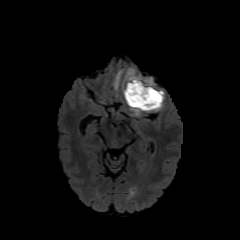
FLAIR MRI.
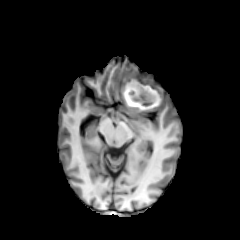
T1-weighted MRI.
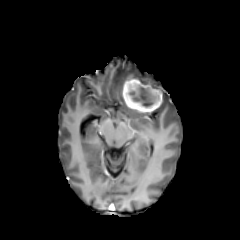
Post-contrast T1-weighted magnetic resonance of the same slice.
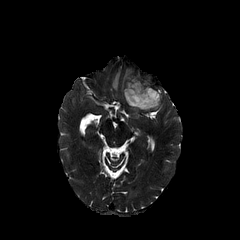
T2-weighted magnetic resonance.
Head
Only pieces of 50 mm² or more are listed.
• necrotic tumor core: box=[127, 82, 159, 107]
• peritumoral edema: box=[124, 68, 164, 110]; box=[113, 70, 122, 90]
• enhancing tumor: box=[123, 73, 162, 114]